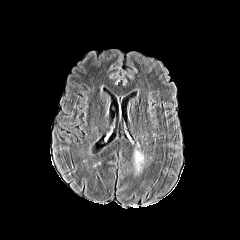
FLAIR MR image.
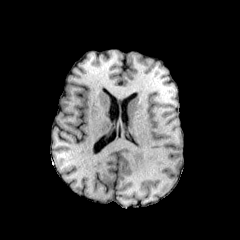
T1-weighted MR image of the same slice.
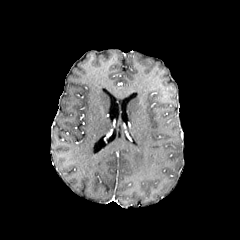
Same slice, post-contrast T1-weighted magnetic resonance.
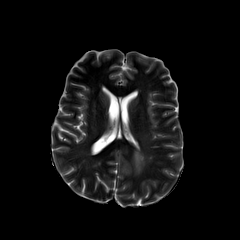
Same slice, T2-weighted MR image.
240x240 px
peritumoral_edema:
  - bbox=[133, 150, 144, 173]